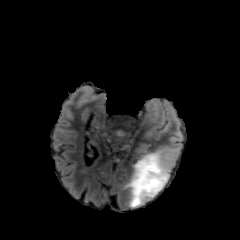
FLAIR MRI.
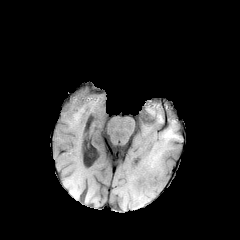
T1-weighted MRI of the same slice.
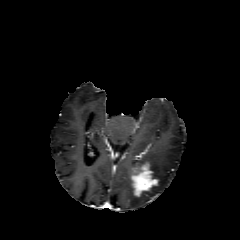
Post-contrast T1-weighted MRI of the same slice.
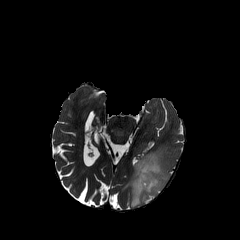
T2-weighted MR of the same slice.
peritumoral edema: bounding box rect(123, 148, 172, 207)
enhancing tumor: bounding box rect(131, 162, 158, 196)